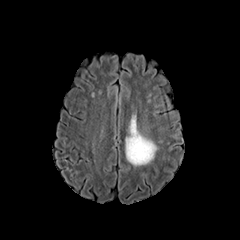
FLAIR MR image.
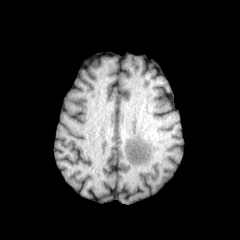
T1-weighted MR.
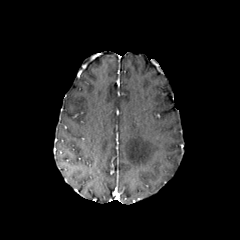
Post-contrast T1-weighted magnetic resonance.
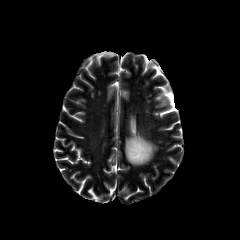
Same slice, T2-weighted MR.
Axial plane; Image size 240x240
peritumoral edema: [125,114,157,166]